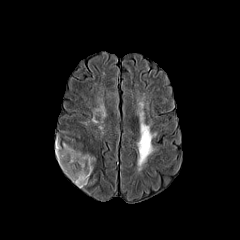
FLAIR MRI.
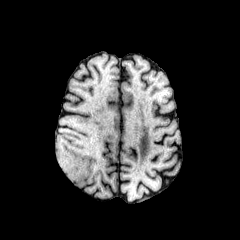
T1-weighted MRI.
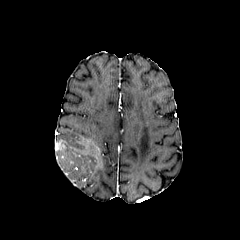
Post-contrast T1-weighted MR.
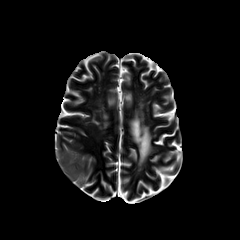
T2-weighted MR image.
Head | Axial slice
Annotated regions:
• peritumoral edema: (x1=55, y1=137, x2=94, y2=187)